Slice 91/155 | Image size 240x240 | Axial view
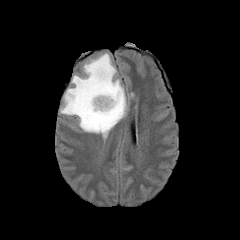
FLAIR MR.
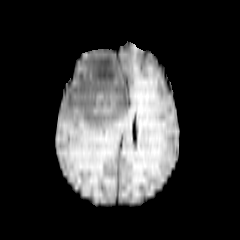
T1-weighted magnetic resonance.
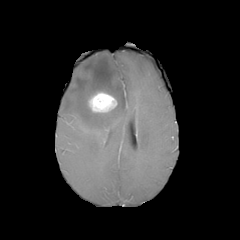
Post-contrast T1-weighted magnetic resonance of the same slice.
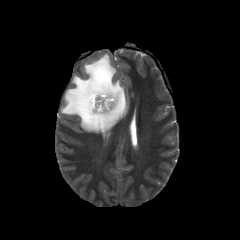
T2-weighted MR.
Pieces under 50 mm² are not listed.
enhancing tumor: bbox(87, 91, 117, 112) | peritumoral edema: bbox(60, 53, 127, 138)